FLAIR magnetic resonance.
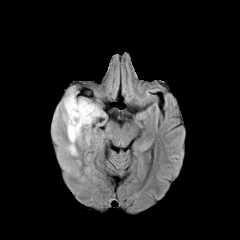
T1-weighted MR.
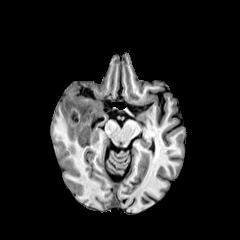
Post-contrast T1-weighted MRI.
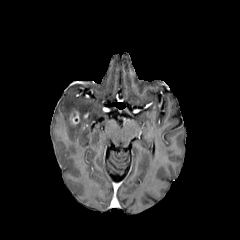
T2-weighted MR image.
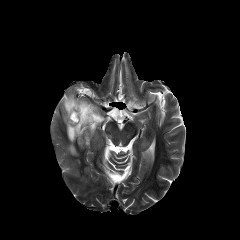
Axial view
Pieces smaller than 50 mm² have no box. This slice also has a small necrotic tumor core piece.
{"enhancing_tumor": ["box=[69, 110, 79, 124]"], "peritumoral_edema": ["box=[92, 133, 98, 143]", "box=[54, 89, 105, 155]"]}